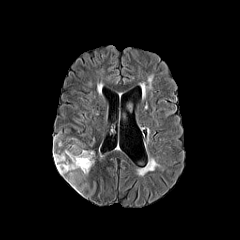
FLAIR magnetic resonance.
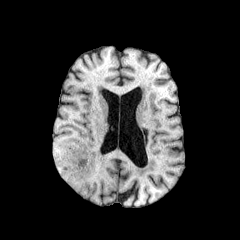
T1-weighted magnetic resonance.
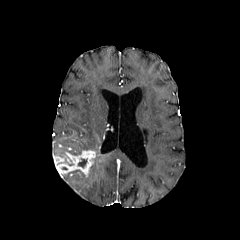
Same slice, post-contrast T1-weighted magnetic resonance.
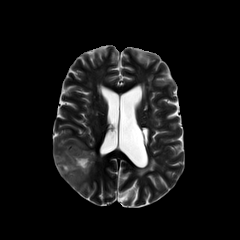
T2-weighted MR.
Axial plane; Head
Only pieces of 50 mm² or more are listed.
• peritumoral edema: <box>60,170,87,194</box>, <box>90,136,96,145</box>, <box>53,138,84,155</box>
• enhancing tumor: <box>53,150,95,176</box>
• necrotic tumor core: <box>79,158,86,167</box>